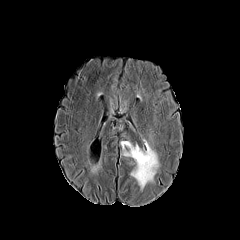
FLAIR MRI.
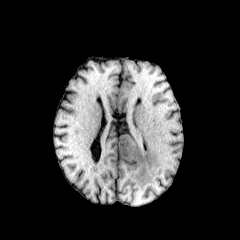
T1-weighted MR image.
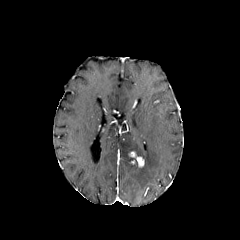
Post-contrast T1-weighted MR.
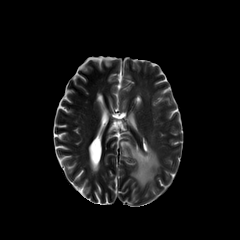
T2-weighted magnetic resonance of the same slice.
Image size 240x240 | Brain
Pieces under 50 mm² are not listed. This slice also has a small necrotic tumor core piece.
enhancing tumor = [129, 151, 144, 167]
peritumoral edema = [120, 141, 159, 190]